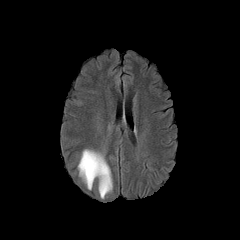
FLAIR MRI.
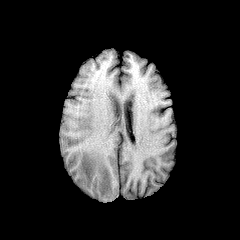
Same slice, T1-weighted MR image.
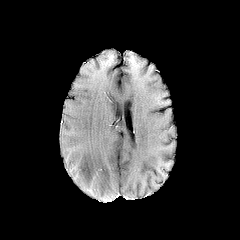
Post-contrast T1-weighted MRI of the same slice.
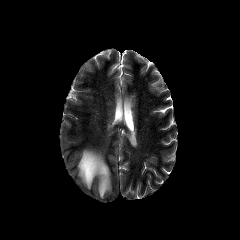
T2-weighted MR image.
Axial slice.
peritumoral edema: box=[78, 149, 112, 198]